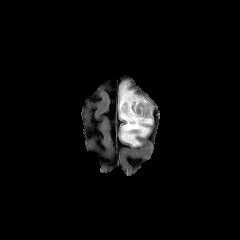
FLAIR MR.
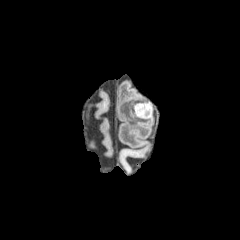
Same slice, T1-weighted magnetic resonance.
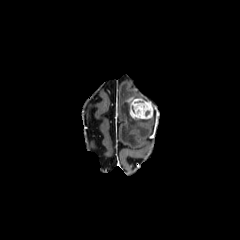
Post-contrast T1-weighted magnetic resonance.
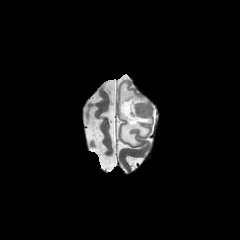
T2-weighted magnetic resonance.
Brain; Axial plane
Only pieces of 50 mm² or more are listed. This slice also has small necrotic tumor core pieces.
peritumoral edema = <bbox>119, 82, 152, 146</bbox>
enhancing tumor = <bbox>126, 97, 153, 119</bbox>